Axial plane, Image covers 240 mm x 240 mm, Slice 72 of 155, 240x240 px
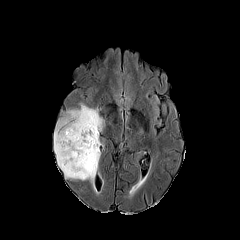
FLAIR MR image.
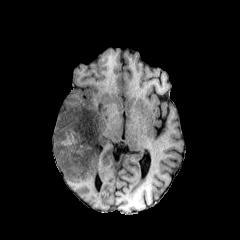
T1-weighted magnetic resonance.
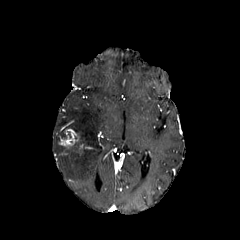
Post-contrast T1-weighted MRI of the same slice.
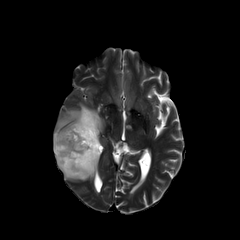
Same slice, T2-weighted MR image.
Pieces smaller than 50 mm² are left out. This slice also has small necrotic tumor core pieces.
peritumoral_edema:
  - 54, 104, 104, 180
enhancing_tumor:
  - 58, 129, 80, 148